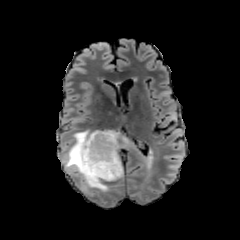
FLAIR MR.
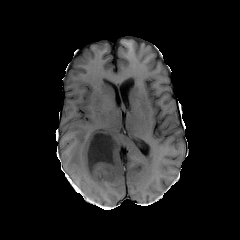
Same slice, T1-weighted MR.
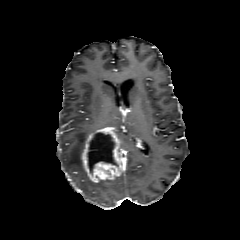
Post-contrast T1-weighted magnetic resonance.
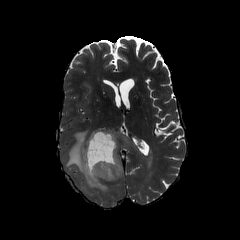
T2-weighted MR.
Brain | 240x240 px | Axial view
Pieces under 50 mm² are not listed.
enhancing_tumor:
  - x1=82, y1=125, x2=124, y2=182
necrotic_tumor_core:
  - x1=87, y1=133, x2=117, y2=172
peritumoral_edema:
  - x1=63, y1=130, x2=108, y2=191